Slice 29/155, Head, Image size 240x240, Axial slice
FLAIR magnetic resonance.
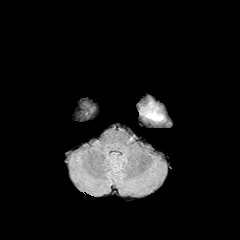
T1-weighted MR image.
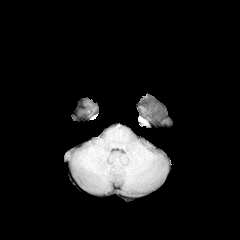
Post-contrast T1-weighted MR.
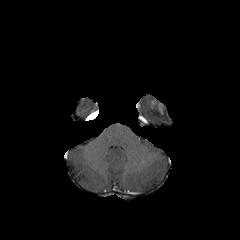
T2-weighted MRI.
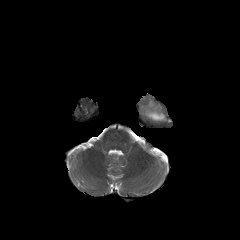
<segmentation>
  <peritumoral_edema>box=[143, 103, 164, 121]</peritumoral_edema>
  <enhancing_tumor>box=[150, 99, 164, 114]</enhancing_tumor>
  <necrotic_tumor_core>box=[152, 106, 163, 117]</necrotic_tumor_core>
</segmentation>